FLAIR magnetic resonance.
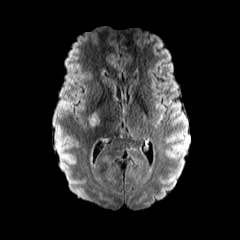
T1-weighted magnetic resonance.
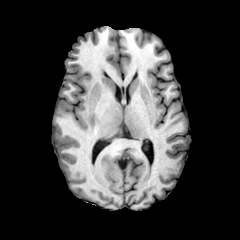
Post-contrast T1-weighted magnetic resonance.
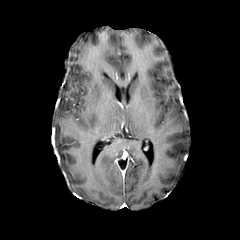
T2-weighted MR image.
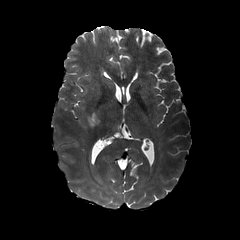
Axial view | Head
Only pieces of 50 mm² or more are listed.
The largest peritumoral edema region lies within 90 112 99 129.